Brain. Slice 72 of 155.
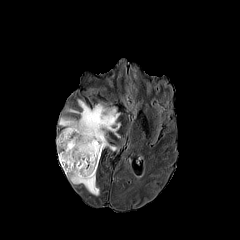
FLAIR MRI.
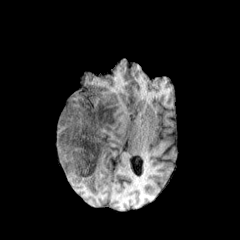
T1-weighted magnetic resonance.
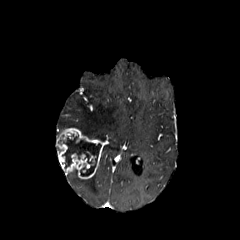
Post-contrast T1-weighted magnetic resonance.
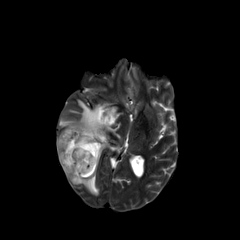
T2-weighted MR of the same slice.
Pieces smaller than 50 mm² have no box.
{"peritumoral_edema": ["box=[103, 144, 116, 151]", "box=[67, 170, 99, 195]", "box=[59, 99, 121, 141]"], "necrotic_tumor_core": ["box=[62, 135, 101, 176]"], "enhancing_tumor": ["box=[56, 128, 108, 179]"]}